Axial view | Head
FLAIR MR.
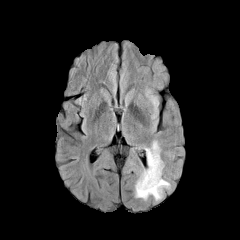
T1-weighted MR.
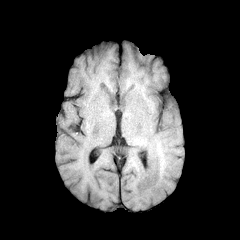
Post-contrast T1-weighted MR image.
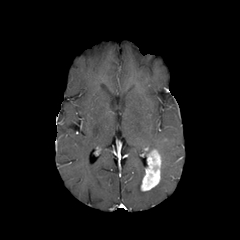
T2-weighted MRI.
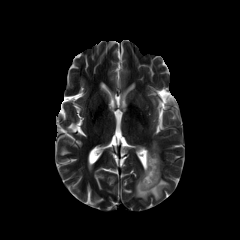
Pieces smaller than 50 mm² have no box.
enhancing tumor: bounding box (left=141, top=149, right=161, bottom=191)
peritumoral edema: bounding box (left=143, top=141, right=160, bottom=155), (left=135, top=169, right=170, bottom=200)